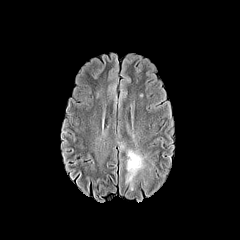
FLAIR MR image.
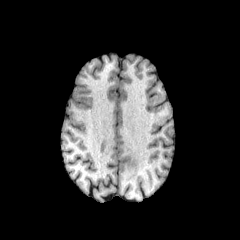
T1-weighted MR image.
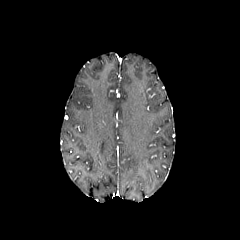
Same slice, post-contrast T1-weighted MRI.
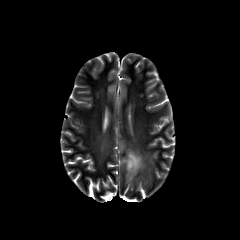
Same slice, T2-weighted MR.
Head. Axial plane.
<segmentation>
  <peritumoral_edema>(left=126, top=150, right=144, bottom=189)</peritumoral_edema>
</segmentation>